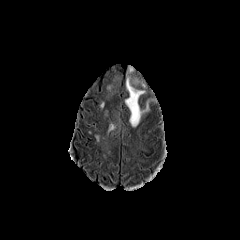
FLAIR MR image.
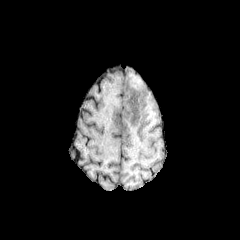
Same slice, T1-weighted magnetic resonance.
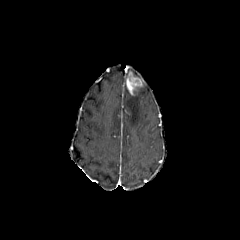
Post-contrast T1-weighted magnetic resonance.
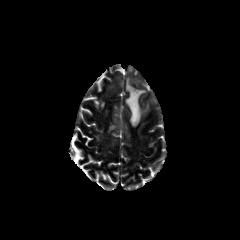
T2-weighted MR image.
240x240 px, Brain
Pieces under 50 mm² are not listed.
peritumoral edema: (125,89,152,126) | enhancing tumor: (126,71,144,95)